FLAIR MR.
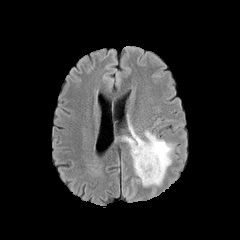
T1-weighted MR image.
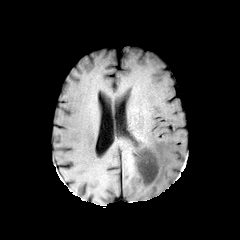
Post-contrast T1-weighted MR image.
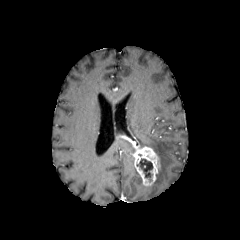
T2-weighted magnetic resonance.
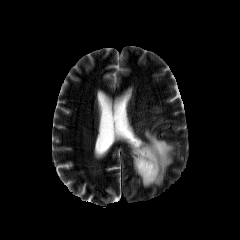
Brain, Axial slice
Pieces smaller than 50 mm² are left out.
Segmented structures:
- necrotic tumor core: (x1=137, y1=159, x2=152, y2=177)
- peritumoral edema: (x1=127, y1=114, x2=173, y2=185), (x1=125, y1=138, x2=134, y2=165)
- enhancing tumor: (x1=122, y1=135, x2=160, y2=185)